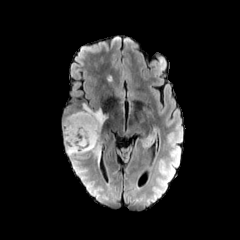
FLAIR MR.
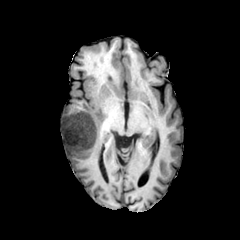
T1-weighted MR image.
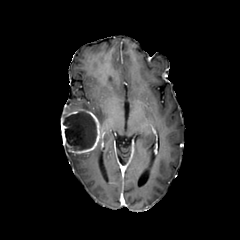
Post-contrast T1-weighted MR image.
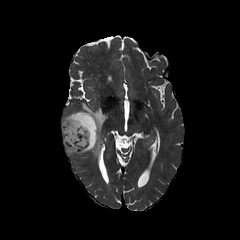
Same slice, T2-weighted MRI.
Axial plane. Brain.
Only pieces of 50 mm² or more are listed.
Segmented structures:
- enhancing tumor: 61 106 102 154
- peritumoral edema: 65 147 85 159, 82 102 108 130, 90 139 101 164
- necrotic tumor core: 63 111 96 150